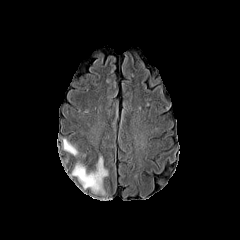
FLAIR MR.
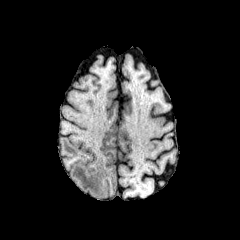
T1-weighted MR of the same slice.
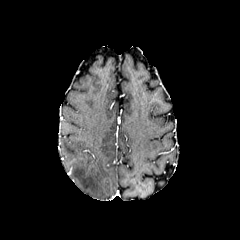
Post-contrast T1-weighted MR.
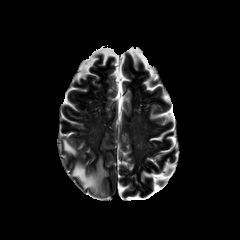
T2-weighted magnetic resonance of the same slice.
Head
Segmented structures:
• peritumoral edema: box=[72, 156, 108, 195]; box=[63, 139, 77, 155]